FLAIR MR.
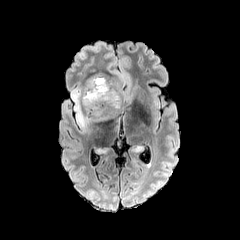
T1-weighted MR.
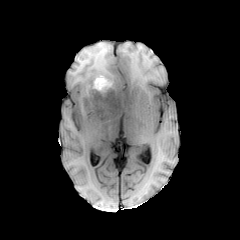
Post-contrast T1-weighted MRI.
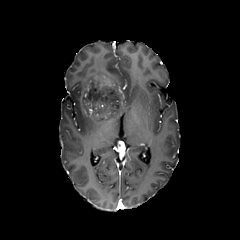
T2-weighted MRI.
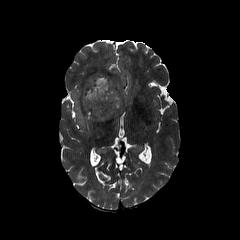
Axial plane, Head
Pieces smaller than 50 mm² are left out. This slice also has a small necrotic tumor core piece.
peritumoral edema: [71, 72, 135, 127] | enhancing tumor: [93, 76, 111, 88]